Slice 37/155 | Axial view | Brain
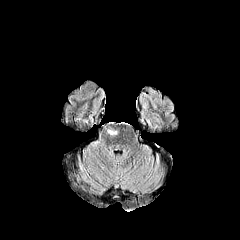
FLAIR MR image.
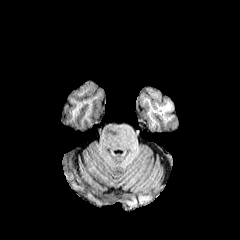
T1-weighted MR of the same slice.
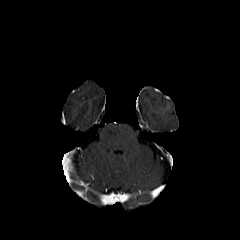
Post-contrast T1-weighted MRI.
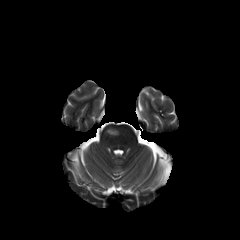
T2-weighted MR image of the same slice.
<segmentation>
  <peritumoral_edema><box>107,128,117,135</box></peritumoral_edema>
</segmentation>